FLAIR MR image.
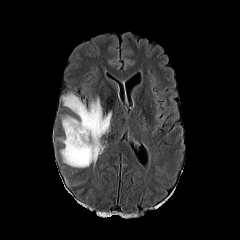
T1-weighted MR image.
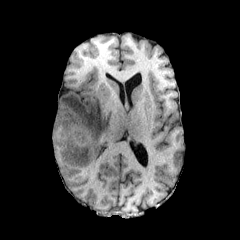
Post-contrast T1-weighted MR image.
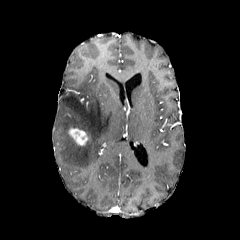
T2-weighted MRI.
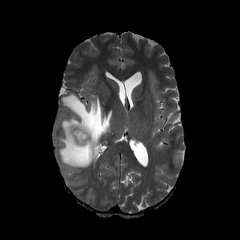
Brain
enhancing_tumor:
  - <bbox>68, 128, 88, 146</bbox>
peritumoral_edema:
  - <bbox>59, 93, 111, 167</bbox>